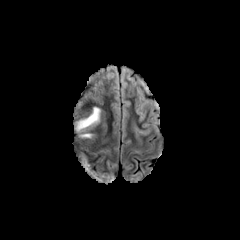
FLAIR MRI.
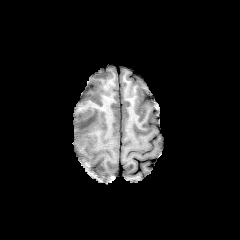
T1-weighted MR.
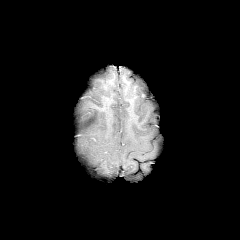
Post-contrast T1-weighted magnetic resonance.
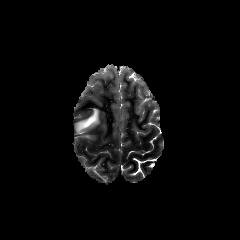
T2-weighted MR.
Brain | Axial plane
Findings:
• peritumoral edema: (x1=74, y1=107, x2=100, y2=138)